Axial plane | Slice 108/155 | Brain | Image width 240 mm, 1.00 mm slice spacing
FLAIR MRI.
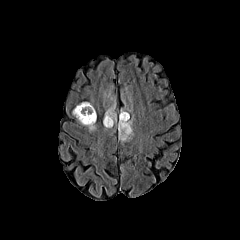
T1-weighted MR.
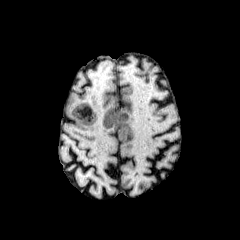
Post-contrast T1-weighted MR.
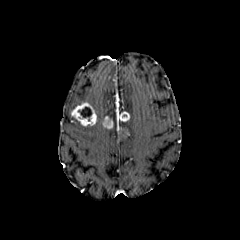
T2-weighted MR.
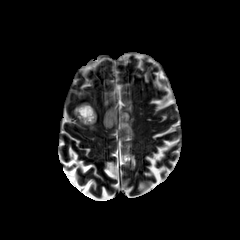
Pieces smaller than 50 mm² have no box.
The largest necrotic tumor core region appears at 78,107,91,121. The 2 largest peritumoral edema regions are located at 105,103,115,118; 119,117,133,141. The 3 largest enhancing tumor regions appear at 102,116,113,128; 71,102,96,126; 116,109,129,129.